Head | Slice 77 of 155 | Axial plane | 240x240 px
FLAIR MR image.
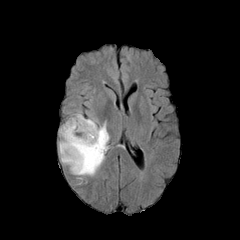
T1-weighted MR.
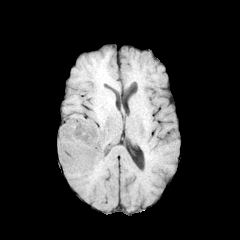
Post-contrast T1-weighted MR image.
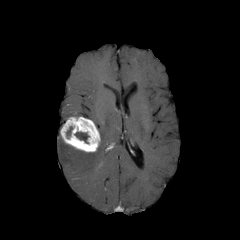
T2-weighted MR image.
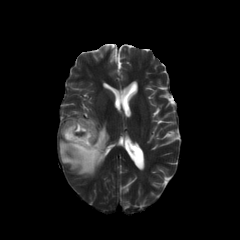
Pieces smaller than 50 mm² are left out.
enhancing tumor = 60, 116, 100, 152
necrotic tumor core = 75, 132, 88, 142
peritumoral edema = 59, 122, 109, 176